Axial slice
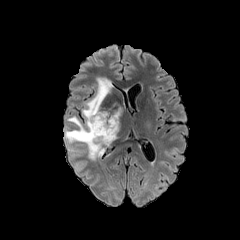
FLAIR magnetic resonance.
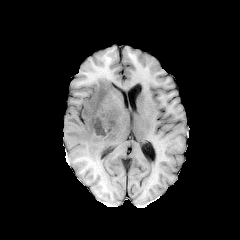
T1-weighted MR.
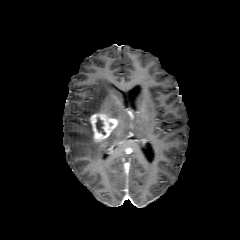
Post-contrast T1-weighted MR of the same slice.
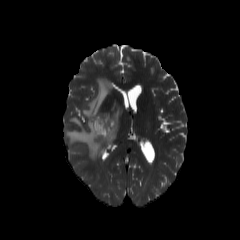
Same slice, T2-weighted MR.
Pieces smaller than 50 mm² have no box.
The necrotic tumor core is at bbox(96, 118, 105, 134). The enhancing tumor is bounded by bbox(90, 112, 118, 142). The largest peritumoral edema region is located at bbox(64, 77, 120, 160).